Slice 131 of 155
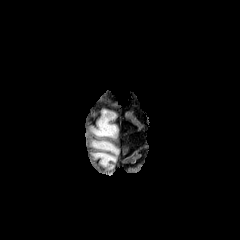
FLAIR MR.
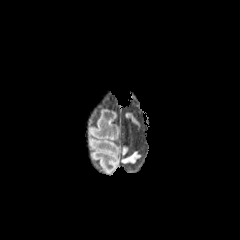
T1-weighted MRI.
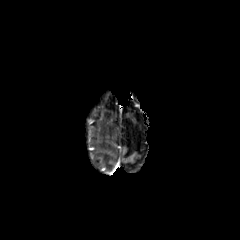
Post-contrast T1-weighted magnetic resonance of the same slice.
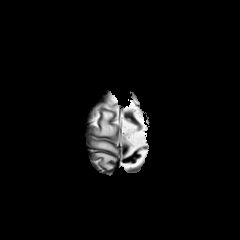
T2-weighted magnetic resonance.
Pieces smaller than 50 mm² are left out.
peritumoral_edema:
  - left=91, top=141, right=118, bottom=154
  - left=92, top=110, right=117, bottom=137
  - left=93, top=152, right=115, bottom=167